Slice index 92, Axial view
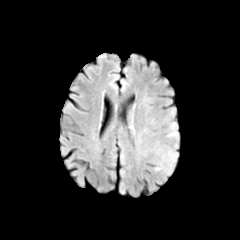
FLAIR MR image.
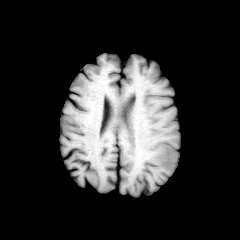
T1-weighted magnetic resonance.
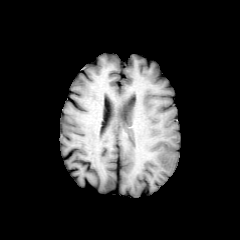
Post-contrast T1-weighted MR image of the same slice.
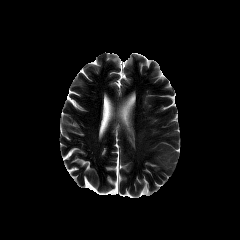
T2-weighted MRI of the same slice.
The peritumoral edema is bounded by left=156, top=150, right=176, bottom=170.